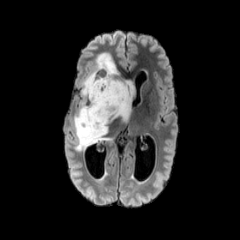
FLAIR MR image.
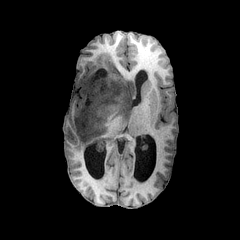
T1-weighted magnetic resonance of the same slice.
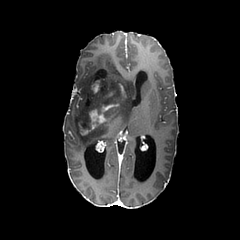
Post-contrast T1-weighted MR image of the same slice.
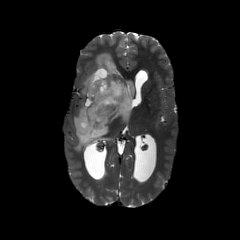
Same slice, T2-weighted MRI.
240x240
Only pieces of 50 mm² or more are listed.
<segmentation>
  <enhancing_tumor>89 104 118 129, 91 69 107 92, 78 122 90 135</enhancing_tumor>
  <necrotic_tumor_core>94 70 105 78</necrotic_tumor_core>
  <peritumoral_edema>73 53 134 151</peritumoral_edema>
</segmentation>